Slice 74 of 155 | Brain
FLAIR MRI.
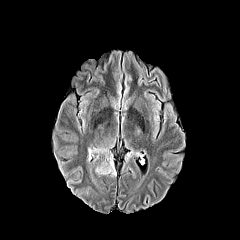
T1-weighted MRI.
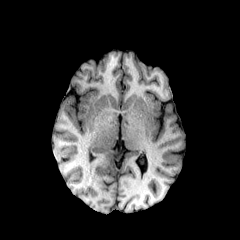
Post-contrast T1-weighted MRI.
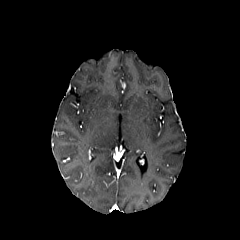
T2-weighted MR image.
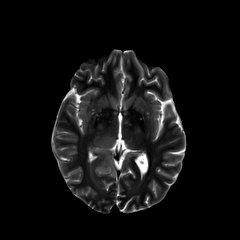
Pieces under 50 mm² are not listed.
The largest peritumoral edema region is located at 96,160,115,174.